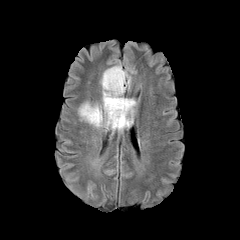
FLAIR MR image.
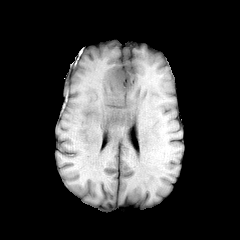
T1-weighted MR of the same slice.
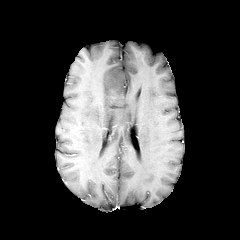
Post-contrast T1-weighted magnetic resonance.
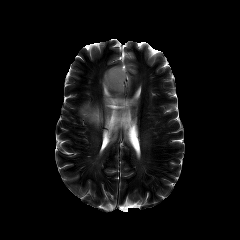
T2-weighted MR image of the same slice.
Brain
- peritumoral edema: (x1=79, y1=64, x2=136, y2=131)